Brain. Slice index 99. Image width 240 mm, 1.00 mm slice spacing.
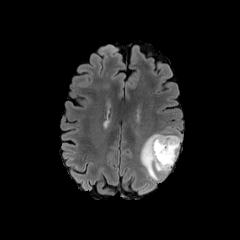
FLAIR MR.
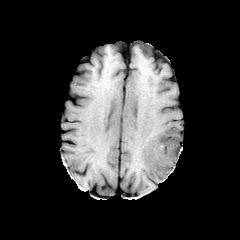
T1-weighted MR.
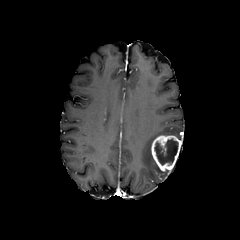
Post-contrast T1-weighted MR image.
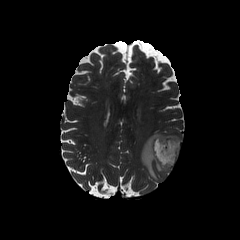
Same slice, T2-weighted magnetic resonance.
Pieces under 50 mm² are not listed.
peritumoral_edema:
  - [x1=140, y1=133, x2=169, y2=180]
enhancing_tumor:
  - [x1=151, y1=135, x2=181, y2=171]
necrotic_tumor_core:
  - [x1=154, y1=139, x2=178, y2=164]